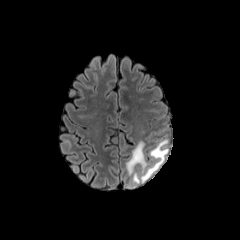
FLAIR MR.
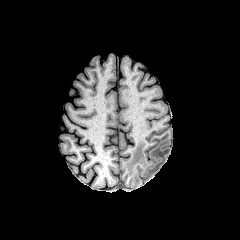
T1-weighted MRI.
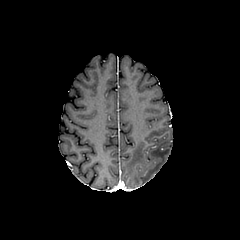
Same slice, post-contrast T1-weighted MR image.
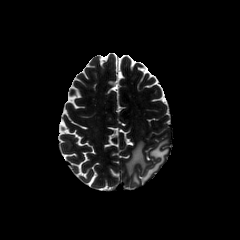
T2-weighted MR image.
Axial slice. Head.
peritumoral_edema:
  - bbox=[126, 139, 168, 184]